FLAIR MRI.
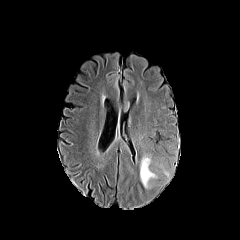
T1-weighted MR.
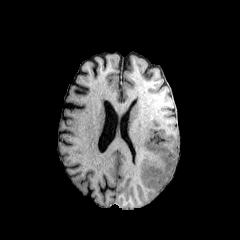
Post-contrast T1-weighted magnetic resonance.
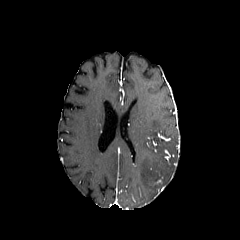
T2-weighted magnetic resonance.
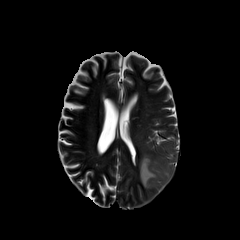
Axial view | Head
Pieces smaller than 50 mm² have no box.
peritumoral edema = x1=140 y1=155 x2=156 y2=188